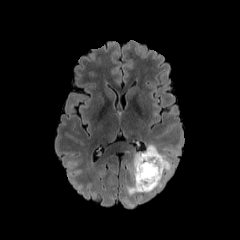
FLAIR magnetic resonance.
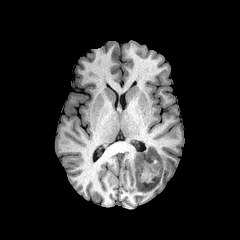
T1-weighted MRI.
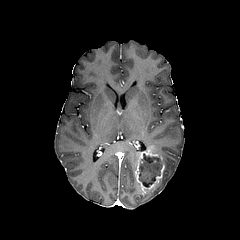
Post-contrast T1-weighted MR image.
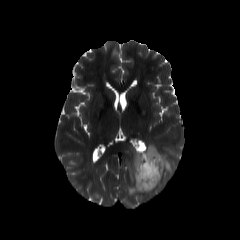
T2-weighted MR of the same slice.
Axial plane
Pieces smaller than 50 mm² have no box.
enhancing tumor: bounding box [134,148,164,190]
peritumoral edema: bounding box [126,144,180,196]
necrotic tumor core: bounding box [139,153,162,187]